FLAIR MRI.
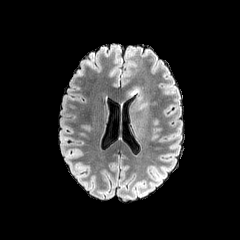
T1-weighted MRI.
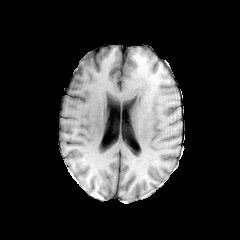
Post-contrast T1-weighted MRI.
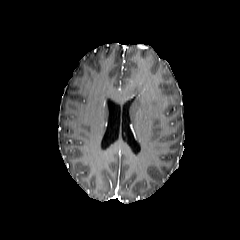
T2-weighted MR image.
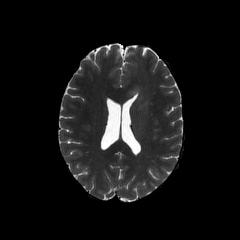
Brain. 240x240 px.
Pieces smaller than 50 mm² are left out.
peritumoral edema: bounding box (128,88,141,100)